FLAIR MR image.
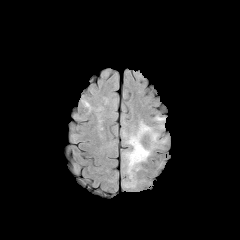
T1-weighted MR.
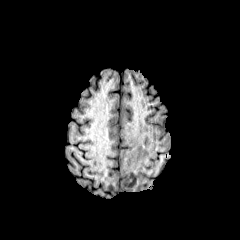
Post-contrast T1-weighted MRI.
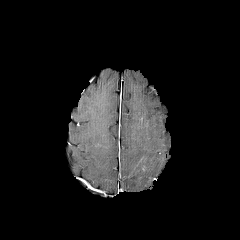
T2-weighted magnetic resonance.
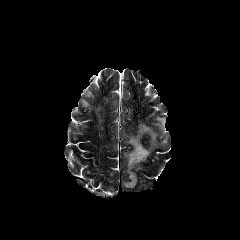
Head
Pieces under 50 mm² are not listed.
The 2 largest peritumoral edema regions are bounded by x1=155 y1=116 x2=165 y2=129, x1=124 y1=122 x2=159 y2=187.